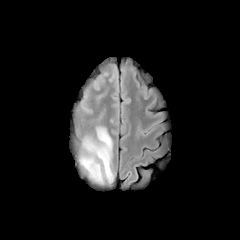
FLAIR magnetic resonance.
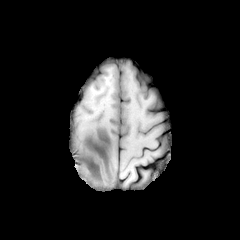
T1-weighted magnetic resonance of the same slice.
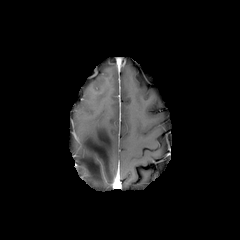
Post-contrast T1-weighted MR image.
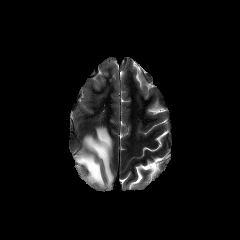
T2-weighted magnetic resonance of the same slice.
Segmented structures:
* peritumoral edema: (x1=78, y1=127, x2=113, y2=184)